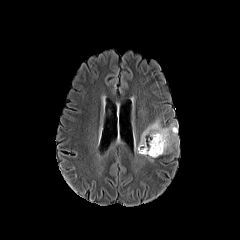
FLAIR MR image.
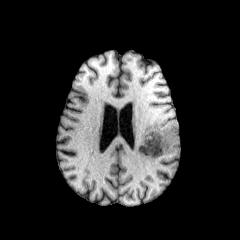
Same slice, T1-weighted magnetic resonance.
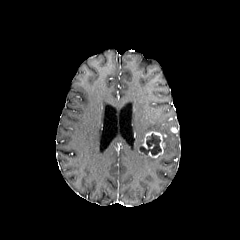
Post-contrast T1-weighted magnetic resonance of the same slice.
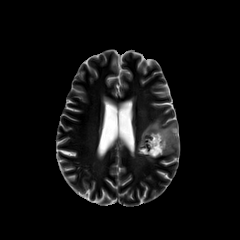
T2-weighted MR.
Head
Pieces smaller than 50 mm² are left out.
Annotated regions:
* peritumoral edema: <box>139,119,179,153</box>
* necrotic tumor core: <box>139,134,161,155</box>
* enhancing tumor: <box>138,131,166,157</box>